FLAIR magnetic resonance.
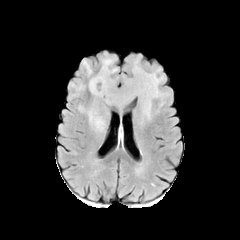
T1-weighted MR.
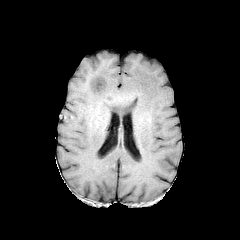
Post-contrast T1-weighted MR image.
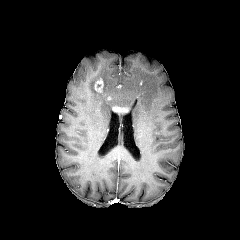
T2-weighted MRI.
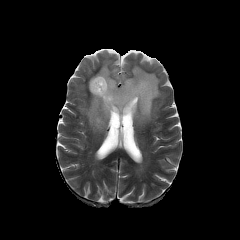
Axial view, 240x240
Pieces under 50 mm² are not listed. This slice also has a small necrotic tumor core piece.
Segmented structures:
- enhancing tumor: (left=113, top=106, right=127, bottom=112), (left=94, top=78, right=103, bottom=92)
- peritumoral edema: (left=87, top=56, right=165, bottom=131)